Brain
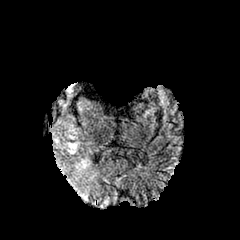
FLAIR MR image.
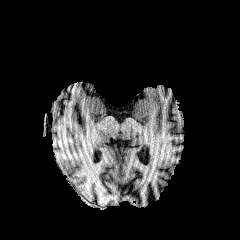
Same slice, T1-weighted magnetic resonance.
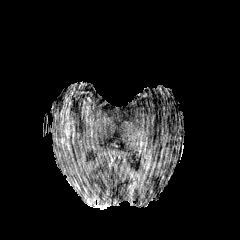
Same slice, post-contrast T1-weighted MR.
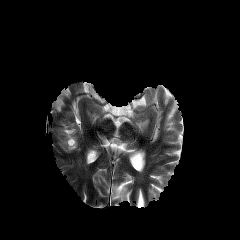
T2-weighted MR image.
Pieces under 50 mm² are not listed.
Segmented structures:
* enhancing tumor: region(64, 123, 74, 138)
* peritumoral edema: region(63, 128, 78, 153); region(81, 157, 90, 168)